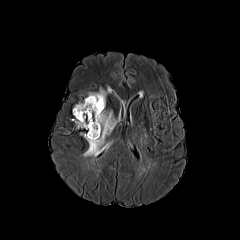
FLAIR MR.
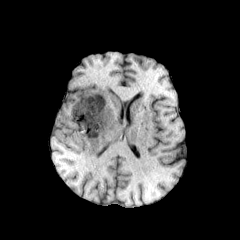
T1-weighted MRI of the same slice.
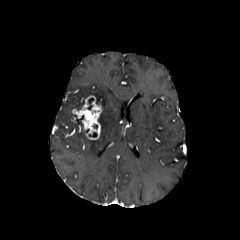
Post-contrast T1-weighted MRI of the same slice.
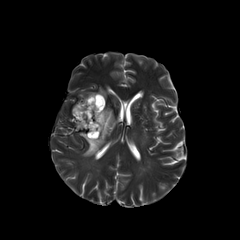
T2-weighted MR image.
240x240
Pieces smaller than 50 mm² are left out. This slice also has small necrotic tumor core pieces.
peritumoral edema — l=76, t=115, r=83, b=127; l=81, t=87, r=118, b=156
enhancing tumor — l=72, t=95, r=102, b=139